Head; Axial view; Slice index 129; Image width 240 mm
FLAIR MR.
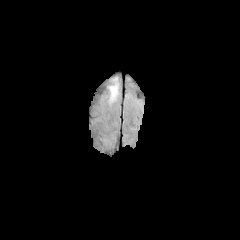
T1-weighted MRI.
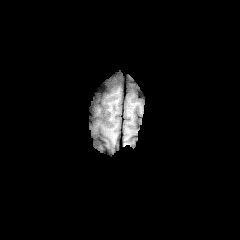
Post-contrast T1-weighted MR image.
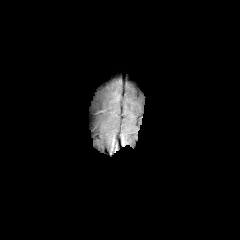
T2-weighted MR image.
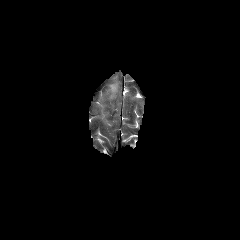
{"peritumoral_edema": ["[107, 84, 119, 105]"]}